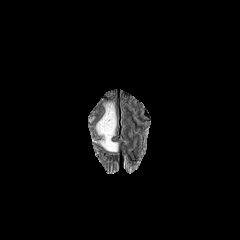
FLAIR MR.
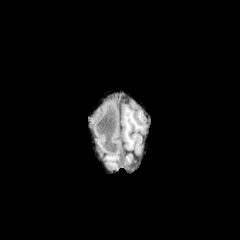
T1-weighted MRI of the same slice.
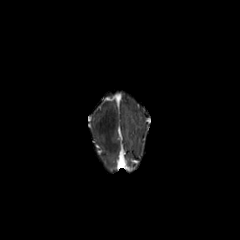
Post-contrast T1-weighted MR image.
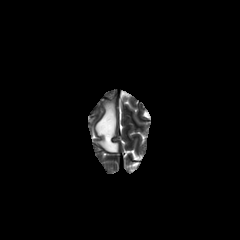
T2-weighted magnetic resonance.
Axial view. Brain. 240x240.
{"peritumoral_edema": ["x1=96 y1=102 x2=118 y2=151"]}